Head; Axial view; 240x240 px
FLAIR MR.
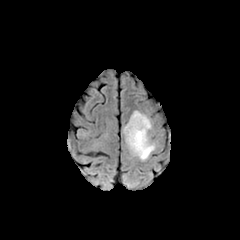
T1-weighted MRI.
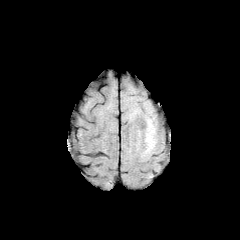
Post-contrast T1-weighted MR image.
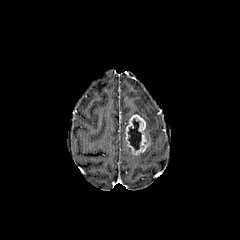
T2-weighted MR.
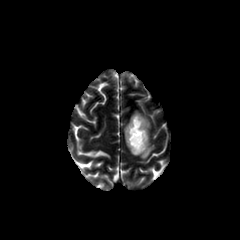
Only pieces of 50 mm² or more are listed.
peritumoral edema = [x1=128, y1=111, x2=155, y2=160]
necrotic tumor core = [x1=128, y1=118, x2=141, y2=150]
enhancing tumor = [x1=125, y1=114, x2=149, y2=155]